Slice index 119. Image width 240 mm, 1.00 mm slice spacing. Brain.
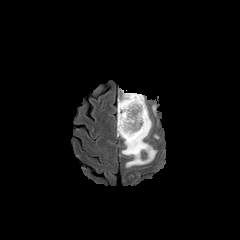
FLAIR MR image.
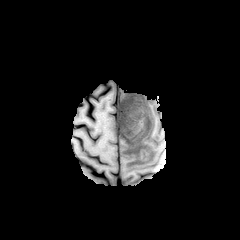
T1-weighted MRI.
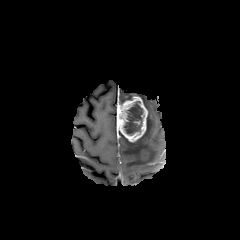
Post-contrast T1-weighted MR image of the same slice.
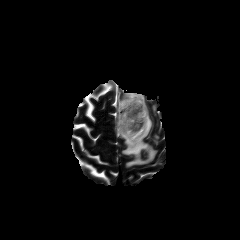
T2-weighted magnetic resonance.
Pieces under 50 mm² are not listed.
necrotic tumor core — [124, 102, 142, 134]
enhancing tumor — [116, 95, 147, 142], [139, 149, 148, 162]
peritumoral edema — [116, 110, 157, 167], [117, 91, 147, 109]